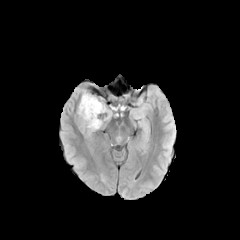
FLAIR magnetic resonance.
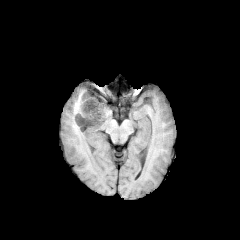
T1-weighted magnetic resonance of the same slice.
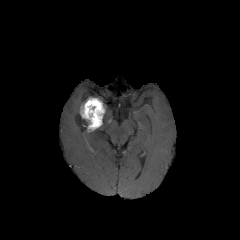
Post-contrast T1-weighted MR of the same slice.
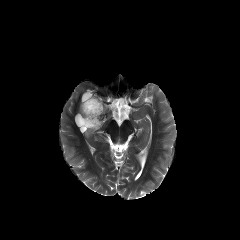
T2-weighted MRI.
Image size 240x240, Axial slice
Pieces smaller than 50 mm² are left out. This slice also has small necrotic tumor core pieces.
The enhancing tumor lies within <bbox>80, 97, 107, 131</bbox>. The largest peritumoral edema region appears at <bbox>98, 108, 111, 129</bbox>.